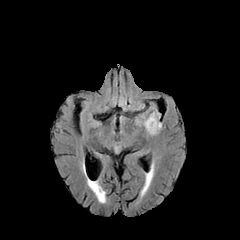
FLAIR MR image.
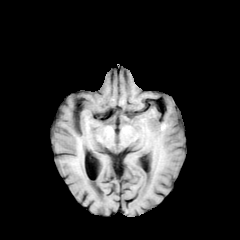
T1-weighted MR.
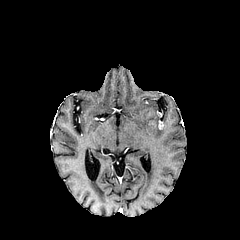
Post-contrast T1-weighted MRI.
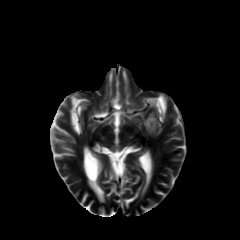
Same slice, T2-weighted MR.
Axial plane; 240x240 px
<segmentation>
  <peritumoral_edema>[x1=144, y1=115, x2=162, y2=132]</peritumoral_edema>
</segmentation>